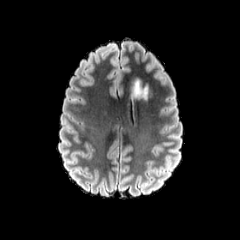
FLAIR MRI.
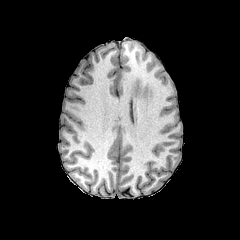
Same slice, T1-weighted magnetic resonance.
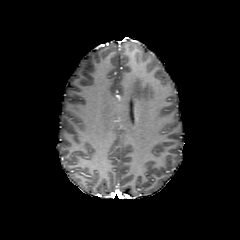
Post-contrast T1-weighted MRI.
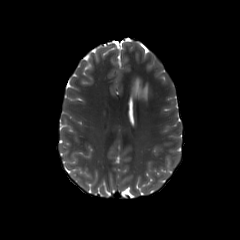
T2-weighted MRI of the same slice.
The peritumoral edema lies within box=[133, 79, 147, 99].